FLAIR MR image.
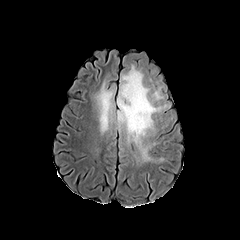
T1-weighted MRI.
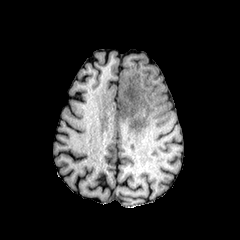
Post-contrast T1-weighted MRI.
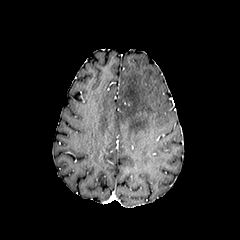
T2-weighted MR image.
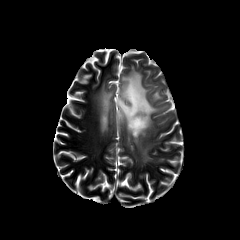
Brain.
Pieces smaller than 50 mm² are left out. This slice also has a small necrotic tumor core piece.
2 peritumoral edema regions are bounded by l=117, t=65, r=167, b=153; l=95, t=82, r=115, b=132.